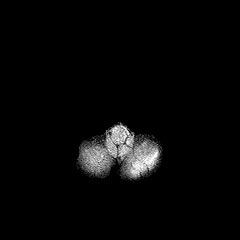
FLAIR MRI.
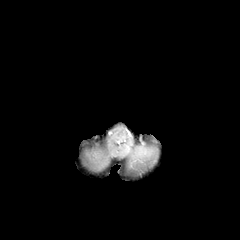
T1-weighted MR image.
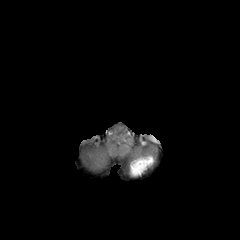
Post-contrast T1-weighted MR.
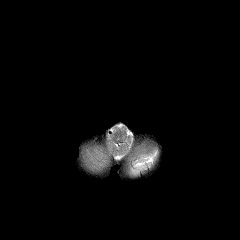
T2-weighted magnetic resonance.
240x240 px. Head. Axial slice.
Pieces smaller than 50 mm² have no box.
enhancing tumor = x1=130, y1=155, x2=153, y2=175
peritumoral edema = x1=136, y1=149, x2=157, y2=162